Slice 59 of 155, 240x240 px, Axial view
FLAIR MR.
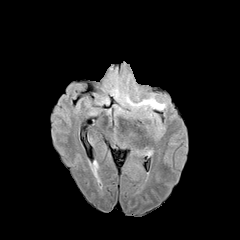
T1-weighted MR image.
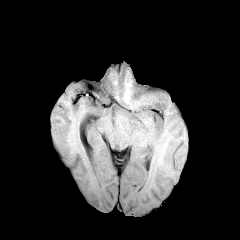
Post-contrast T1-weighted MRI.
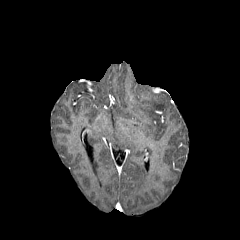
T2-weighted MRI.
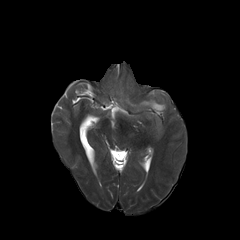
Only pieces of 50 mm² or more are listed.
<segmentation>
  <peritumoral_edema>box=[126, 97, 165, 110]</peritumoral_edema>
</segmentation>